Brain, Image width 240 mm, Slice 102/155
FLAIR magnetic resonance.
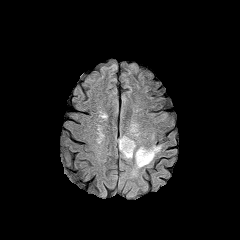
T1-weighted MRI.
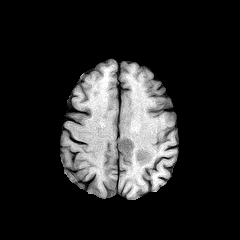
Post-contrast T1-weighted magnetic resonance.
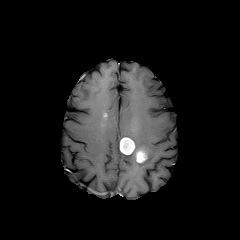
T2-weighted magnetic resonance.
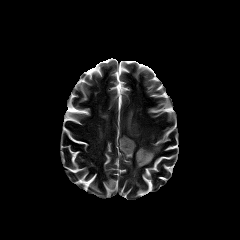
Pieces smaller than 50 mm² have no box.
The 2 largest enhancing tumor regions appear at 136, 149, 147, 162; 120, 137, 135, 154. The 2 largest peritumoral edema regions appear at 130, 124, 139, 136; 122, 144, 162, 176.